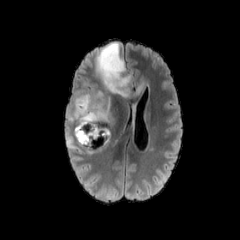
FLAIR MRI.
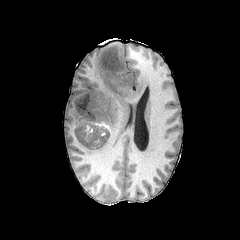
Same slice, T1-weighted MR image.
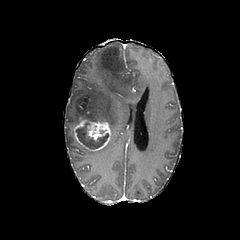
Post-contrast T1-weighted MR of the same slice.
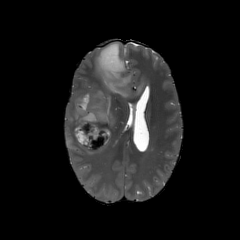
Same slice, T2-weighted magnetic resonance.
Axial view | 240x240
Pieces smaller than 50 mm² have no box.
enhancing_tumor:
  - rect(74, 121, 111, 150)
necrotic_tumor_core:
  - rect(76, 123, 108, 148)
peritumoral_edema:
  - rect(64, 42, 148, 154)